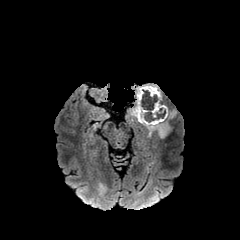
FLAIR magnetic resonance.
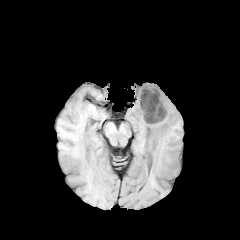
T1-weighted MRI.
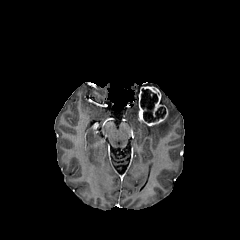
Same slice, post-contrast T1-weighted MR image.
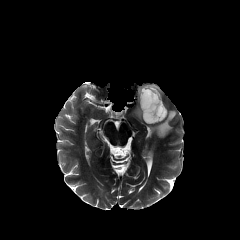
T2-weighted magnetic resonance.
240x240 | Head
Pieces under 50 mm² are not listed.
The enhancing tumor appears at 138,86,167,125. The 2 largest necrotic tumor core regions are located at 140,90,157,109; 143,110,165,122. The largest peritumoral edema region is bounded by 128,87,176,137.